Axial view | Slice 71/155 | Brain
FLAIR MR.
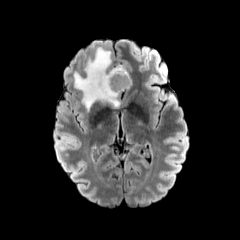
T1-weighted MRI.
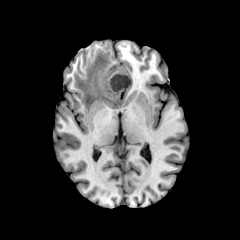
Post-contrast T1-weighted magnetic resonance.
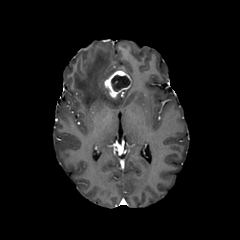
T2-weighted MR image.
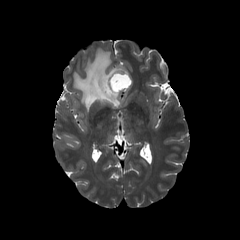
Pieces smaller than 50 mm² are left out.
peritumoral edema: [74, 48, 123, 110]
enhancing tumor: [104, 67, 131, 98]
necrotic tumor core: [111, 75, 130, 91]